Image width 240 mm
FLAIR magnetic resonance.
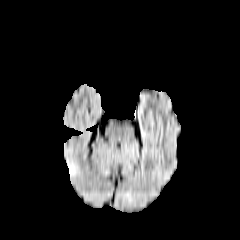
T1-weighted magnetic resonance.
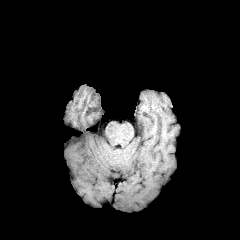
Post-contrast T1-weighted magnetic resonance.
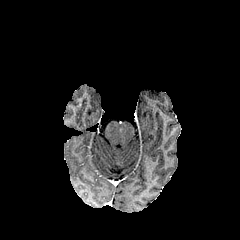
T2-weighted MRI.
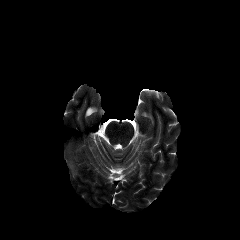
peritumoral edema: 67:161:76:173